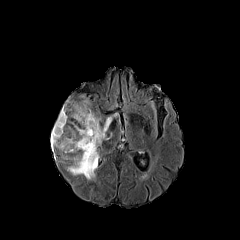
FLAIR MR image.
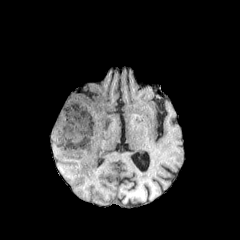
T1-weighted magnetic resonance.
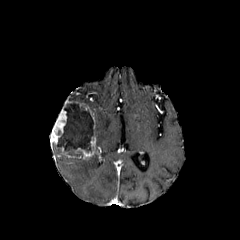
Post-contrast T1-weighted MR image.
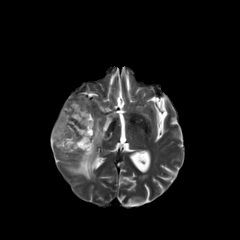
T2-weighted MRI.
Brain
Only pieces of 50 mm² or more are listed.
necrotic tumor core: bounding box (x1=57, y1=101, x2=94, y2=153)
peritumoral edema: bounding box (x1=94, y1=115, x2=112, y2=150), (x1=68, y1=153, x2=98, y2=179)
enhancing tumor: bounding box (x1=74, y1=132, x2=96, y2=159), (x1=50, y1=99, x2=72, y2=146)